Head
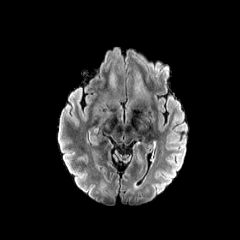
FLAIR MR.
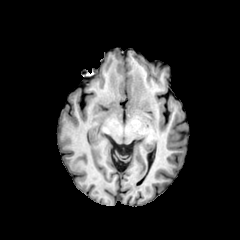
T1-weighted MR image.
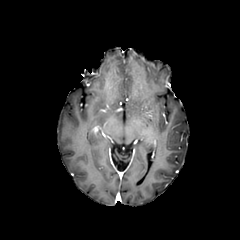
Post-contrast T1-weighted MR image.
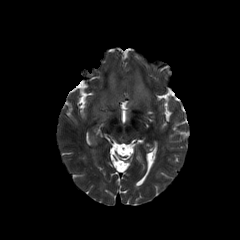
Same slice, T2-weighted MR image.
peritumoral_edema:
  - box(110, 73, 115, 86)
  - box(134, 73, 149, 97)